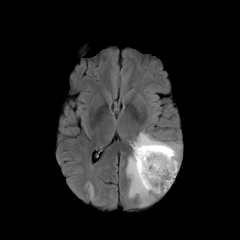
FLAIR MR image.
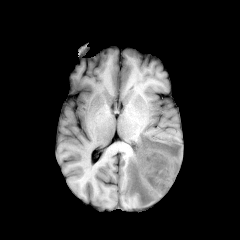
Same slice, T1-weighted MR.
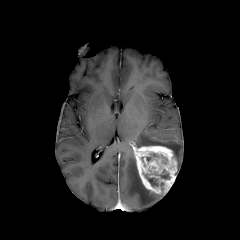
Post-contrast T1-weighted MRI of the same slice.
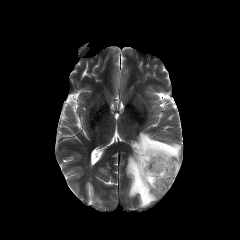
T2-weighted MR.
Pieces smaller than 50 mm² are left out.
2 peritumoral edema regions are located at x1=134, y1=131, x2=181, y2=169; x1=126, y1=152, x2=163, y2=207. The enhancing tumor is at x1=133, y1=145, x2=177, y2=194. The largest necrotic tumor core region is bounded by x1=147, y1=177, x2=157, y2=186.